Axial slice. Slice index 24.
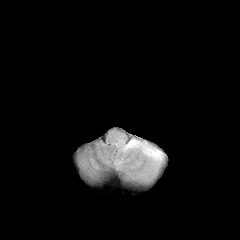
FLAIR magnetic resonance.
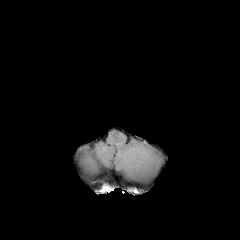
T1-weighted MR.
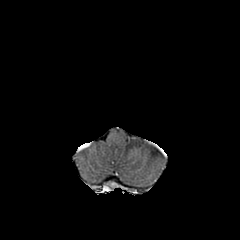
Post-contrast T1-weighted magnetic resonance.
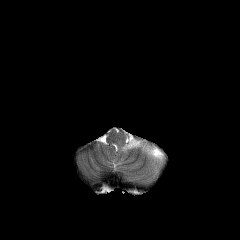
T2-weighted MR image of the same slice.
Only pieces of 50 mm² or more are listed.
Annotated regions:
• peritumoral edema: left=112, top=135, right=164, bottom=179